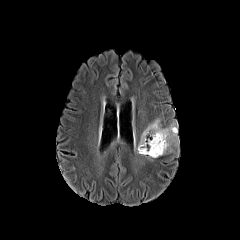
FLAIR MRI.
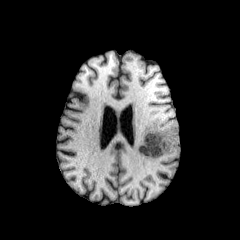
T1-weighted MRI.
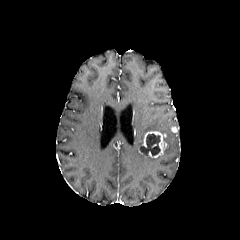
Post-contrast T1-weighted MR.
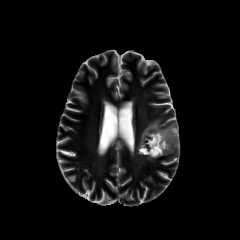
T2-weighted MR of the same slice.
Head
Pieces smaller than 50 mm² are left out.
enhancing tumor: (138, 131, 167, 157) | necrotic tumor core: (140, 134, 160, 155) | peritumoral edema: (139, 119, 178, 153)